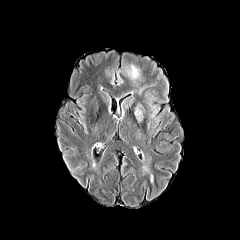
FLAIR MRI.
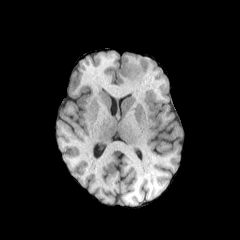
T1-weighted magnetic resonance.
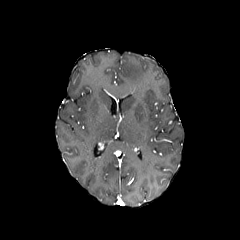
Post-contrast T1-weighted MR of the same slice.
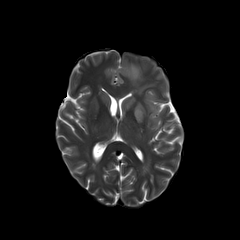
T2-weighted MRI of the same slice.
Axial slice
peritumoral edema: bounding box bbox(126, 64, 139, 79); bbox(133, 104, 143, 124); bbox(121, 95, 134, 116)